Image width 240 mm, 1.00 mm slice spacing. Brain.
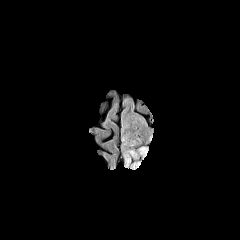
FLAIR MR.
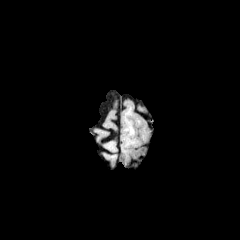
T1-weighted MRI.
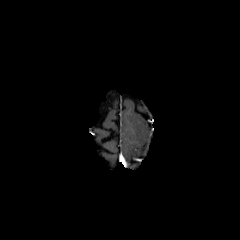
Post-contrast T1-weighted MR image.
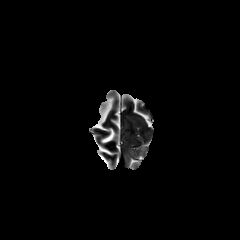
Same slice, T2-weighted MR image.
{"peritumoral_edema": ["[124, 146, 148, 168]"]}